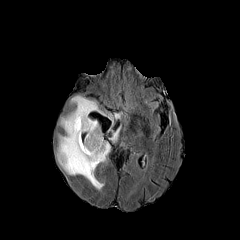
FLAIR magnetic resonance.
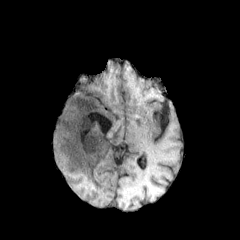
T1-weighted MR image of the same slice.
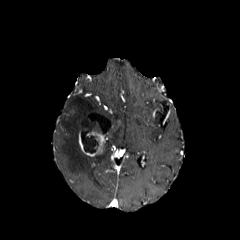
Post-contrast T1-weighted MR image.
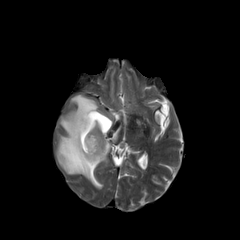
T2-weighted MR image.
Brain.
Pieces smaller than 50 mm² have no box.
enhancing_tumor:
  - [79,131,105,156]
necrotic_tumor_core:
  - [82,135,98,153]
peritumoral_edema:
  - [110,127,120,141]
  - [57,95,110,189]